FLAIR MR image.
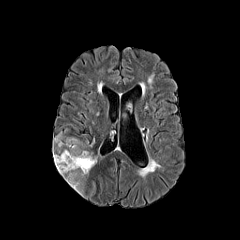
T1-weighted MRI.
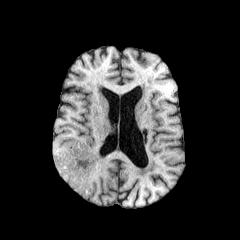
Post-contrast T1-weighted magnetic resonance.
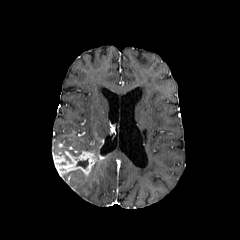
T2-weighted magnetic resonance.
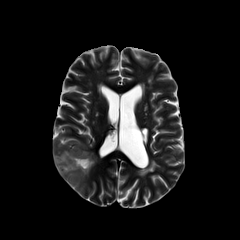
Brain; Axial view; 240x240 px
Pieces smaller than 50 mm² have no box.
The 2 largest peritumoral edema regions appear at (59, 170, 86, 194), (53, 134, 96, 155). The largest necrotic tumor core region is bounded by (76, 159, 88, 168). The largest enhancing tumor region is located at (53, 151, 97, 176).